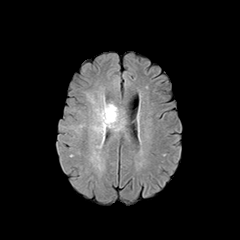
FLAIR MRI.
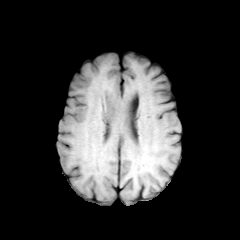
T1-weighted MR image.
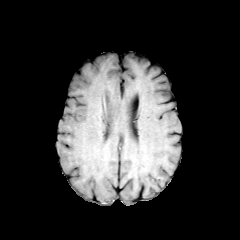
Post-contrast T1-weighted magnetic resonance.
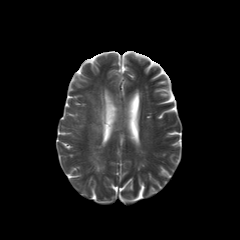
T2-weighted MR of the same slice.
Axial view.
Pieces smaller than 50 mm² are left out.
<segmentation>
  <peritumoral_edema>93,96,119,147</peritumoral_edema>
</segmentation>